FLAIR MR.
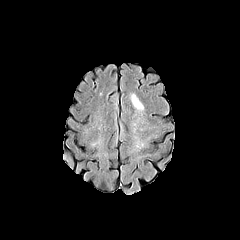
T1-weighted MR image.
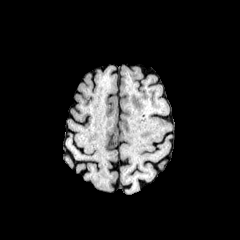
Post-contrast T1-weighted MR image.
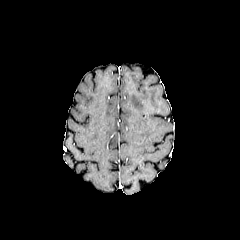
T2-weighted MR.
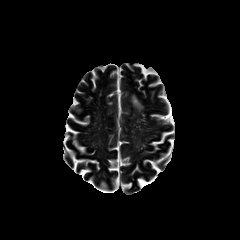
Axial plane
The peritumoral edema is located at (left=131, top=94, right=143, bottom=110).